Slice 73 of 155. Brain. Axial slice.
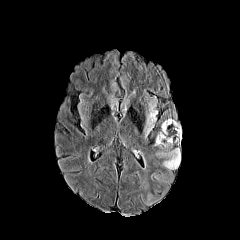
FLAIR magnetic resonance.
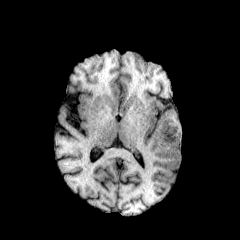
T1-weighted MR of the same slice.
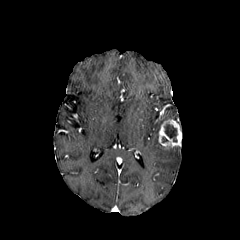
Post-contrast T1-weighted MR image.
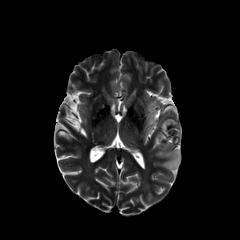
T2-weighted MRI.
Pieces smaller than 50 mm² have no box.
peritumoral edema = (145, 103, 156, 136), (157, 148, 180, 170)
necrotic tumor core = (164, 124, 176, 141)
enhancing tumor = (158, 119, 181, 148)